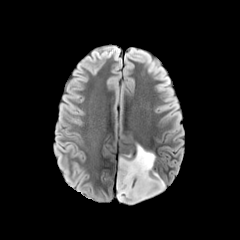
FLAIR MR image.
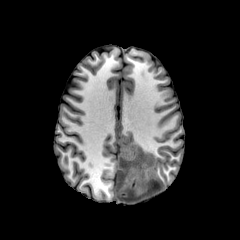
T1-weighted MR.
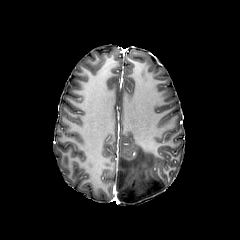
Post-contrast T1-weighted MR of the same slice.
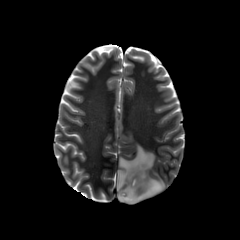
Same slice, T2-weighted MRI.
Brain
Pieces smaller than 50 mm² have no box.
The largest peritumoral edema region is located at l=116, t=144, r=165, b=203.